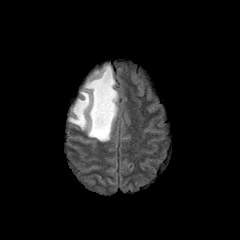
FLAIR magnetic resonance.
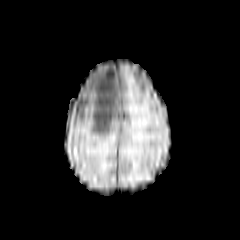
T1-weighted MR image.
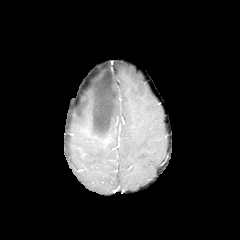
Post-contrast T1-weighted magnetic resonance of the same slice.
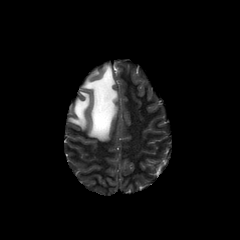
T2-weighted magnetic resonance.
peritumoral_edema:
  - x1=68 y1=64 x2=118 y2=141